Head; Image covers 240 mm x 240 mm; 240x240
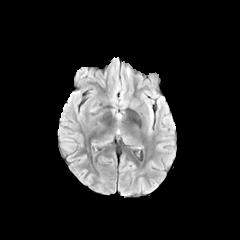
FLAIR MR image.
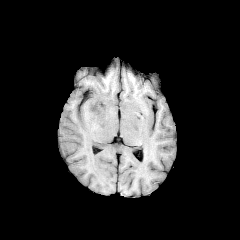
T1-weighted MRI.
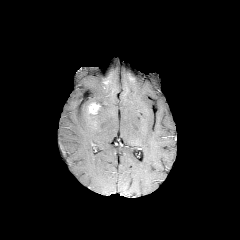
Post-contrast T1-weighted magnetic resonance.
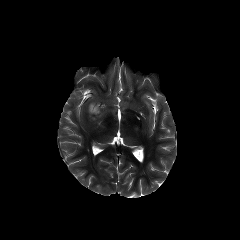
T2-weighted MR.
enhancing tumor — rect(88, 102, 101, 116)
peritumoral edema — rect(76, 101, 102, 134)